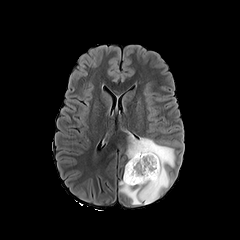
FLAIR MR image.
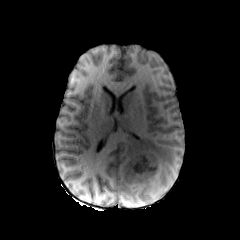
T1-weighted MR image.
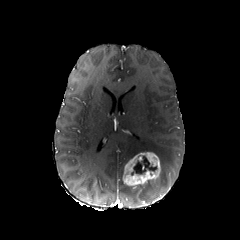
Post-contrast T1-weighted MR image.
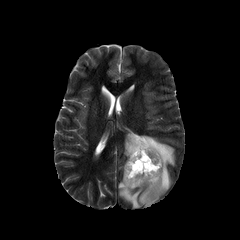
Same slice, T2-weighted MRI.
Axial plane. 240x240. Brain.
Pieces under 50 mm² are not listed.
necrotic tumor core: 131,156,156,175
peritumoral edema: 119,133,175,204
enhancing tumor: 123,152,160,188